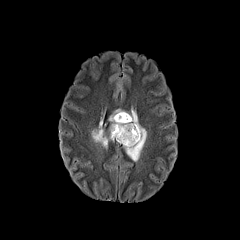
FLAIR MR image.
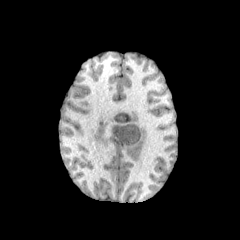
T1-weighted MRI of the same slice.
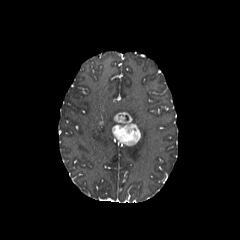
Same slice, post-contrast T1-weighted magnetic resonance.
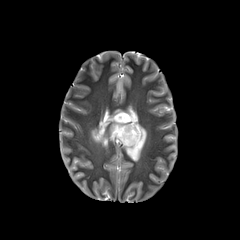
T2-weighted magnetic resonance.
Brain
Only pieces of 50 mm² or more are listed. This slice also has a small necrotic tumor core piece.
peritumoral edema: {"x1": 123, "y1": 108, "x2": 146, "y2": 161}, {"x1": 91, "y1": 109, "x2": 125, "y2": 148} | enhancing tumor: {"x1": 112, "y1": 112, "x2": 140, "y2": 145}